FLAIR MR.
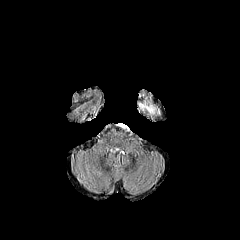
T1-weighted MR image.
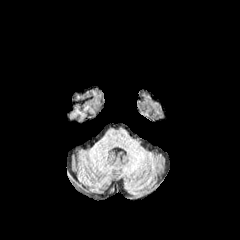
Post-contrast T1-weighted MRI.
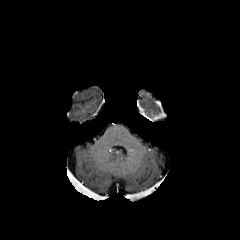
T2-weighted MR image.
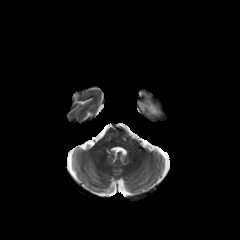
240x240 px; Axial plane
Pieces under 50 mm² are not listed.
peritumoral edema at bbox=[140, 103, 156, 113]